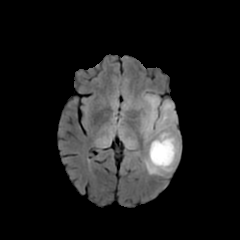
FLAIR MRI.
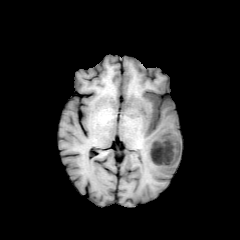
Same slice, T1-weighted MR image.
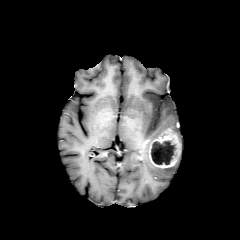
Same slice, post-contrast T1-weighted MRI.
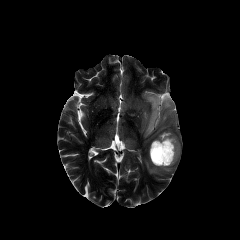
Same slice, T2-weighted MR.
Axial plane | Head
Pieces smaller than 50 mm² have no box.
necrotic tumor core: box=[151, 141, 175, 164] | peritumoral edema: box=[138, 92, 180, 176] | enhancing tumor: box=[149, 129, 180, 168]